Axial slice; Image width 240 mm, 1.00 mm slice spacing; Head
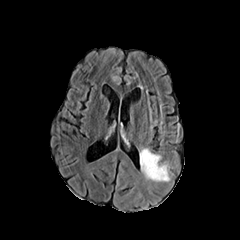
FLAIR magnetic resonance.
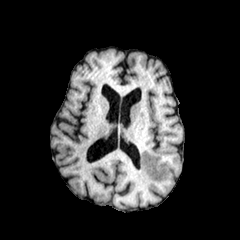
T1-weighted magnetic resonance of the same slice.
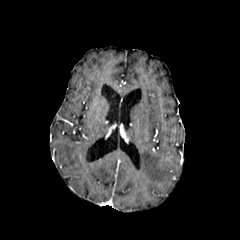
Post-contrast T1-weighted MR image of the same slice.
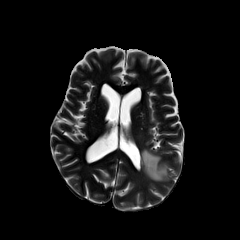
T2-weighted magnetic resonance of the same slice.
peritumoral edema — x1=140 y1=148 x2=169 y2=181